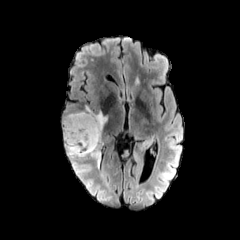
FLAIR MRI.
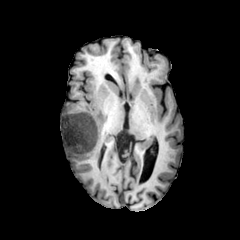
T1-weighted MR of the same slice.
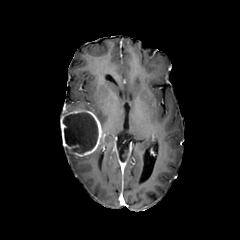
Post-contrast T1-weighted MR image.
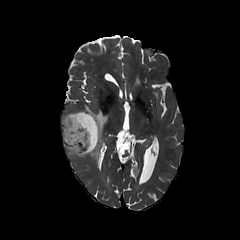
T2-weighted MRI.
240x240.
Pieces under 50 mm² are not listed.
enhancing tumor — [61,105,104,156]
peritumoral edema — [65,149,86,166], [95,110,108,129], [88,140,103,168]
necrotic tumor core — [63,112,98,153]